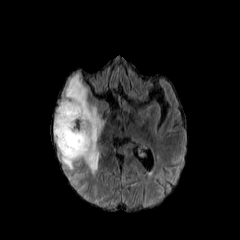
FLAIR magnetic resonance.
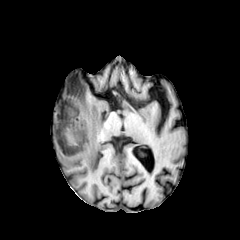
T1-weighted MRI.
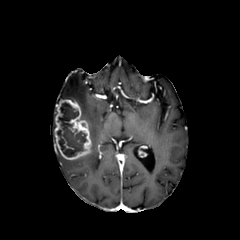
Post-contrast T1-weighted MR.
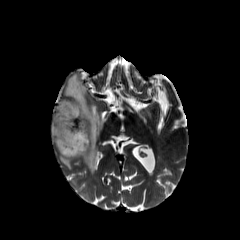
T2-weighted MR image.
Axial slice.
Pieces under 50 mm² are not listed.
The largest enhancing tumor region is bounded by (left=54, top=99, right=91, bottom=159). The largest peritumoral edema region appears at (left=59, top=73, right=104, bottom=174). The largest necrotic tumor core region is located at (left=57, top=102, right=86, bottom=156).